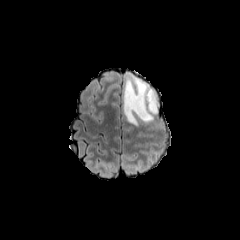
FLAIR magnetic resonance.
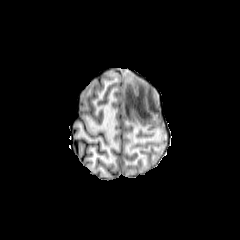
T1-weighted MRI of the same slice.
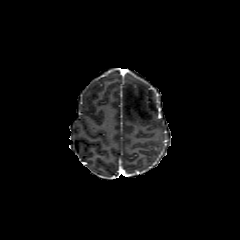
Post-contrast T1-weighted MR image.
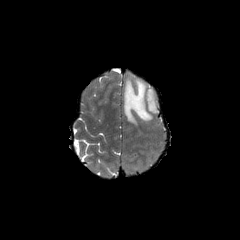
T2-weighted MR image of the same slice.
Image size 240x240; Brain; Axial plane
The peritumoral edema lies within 123, 75, 157, 125.